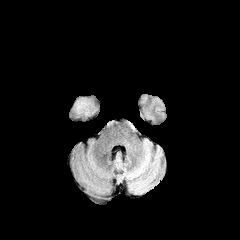
FLAIR magnetic resonance.
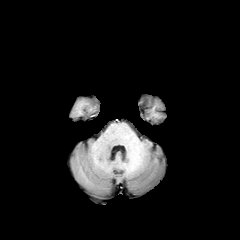
T1-weighted magnetic resonance.
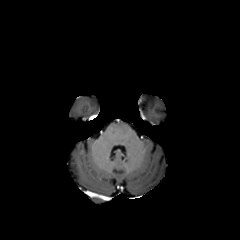
Post-contrast T1-weighted MRI of the same slice.
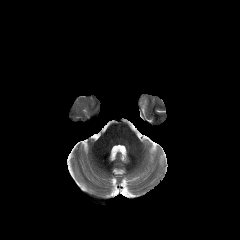
Same slice, T2-weighted MR.
240x240
Segmented structures:
• peritumoral edema: region(70, 96, 100, 120)